Head.
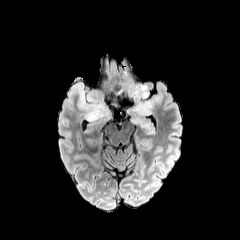
FLAIR magnetic resonance.
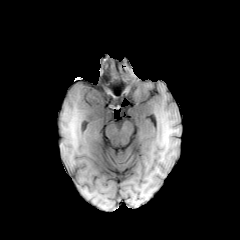
T1-weighted MR image of the same slice.
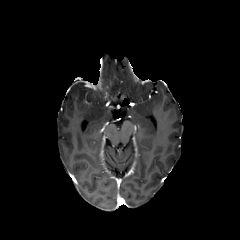
Same slice, post-contrast T1-weighted magnetic resonance.
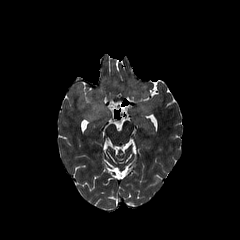
T2-weighted MR image.
peritumoral edema — [73, 82, 110, 121], [123, 83, 152, 125]